FLAIR magnetic resonance.
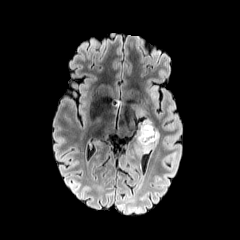
T1-weighted MR image.
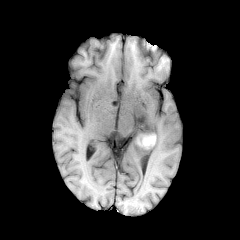
Post-contrast T1-weighted magnetic resonance.
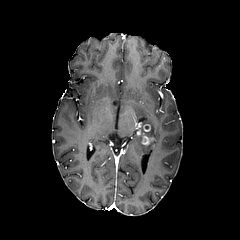
T2-weighted MR image.
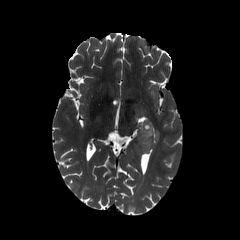
Brain; Image size 240x240
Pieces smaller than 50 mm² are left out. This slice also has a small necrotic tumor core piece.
The peritumoral edema lies within <box>138,120,158,153</box>. The enhancing tumor lies within <box>139,124,153,145</box>.